FLAIR MR.
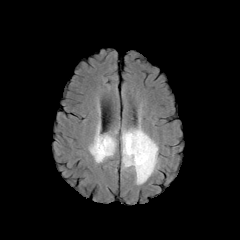
T1-weighted MRI.
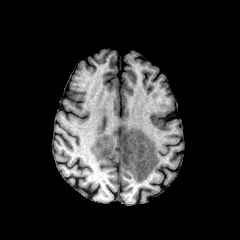
Post-contrast T1-weighted magnetic resonance.
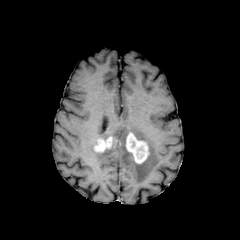
T2-weighted magnetic resonance.
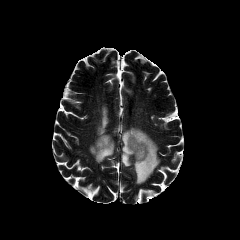
Axial slice; 240x240
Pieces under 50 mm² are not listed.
enhancing tumor: bbox(125, 132, 149, 163); bbox(94, 136, 112, 152) | peritumoral edema: bbox(121, 126, 158, 184); bbox(89, 125, 116, 162)